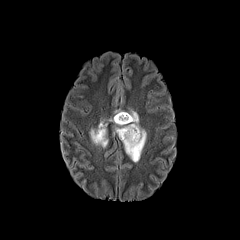
FLAIR MRI.
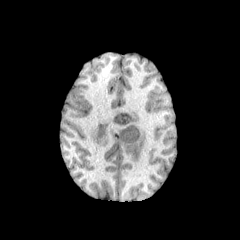
Same slice, T1-weighted magnetic resonance.
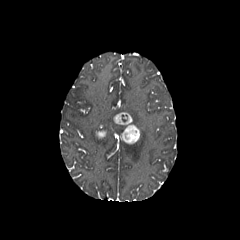
Post-contrast T1-weighted MR.
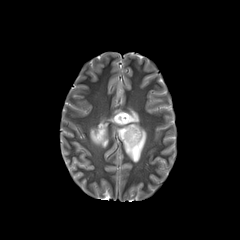
Same slice, T2-weighted magnetic resonance.
Axial view
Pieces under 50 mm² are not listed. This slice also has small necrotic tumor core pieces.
Annotated regions:
• enhancing tumor: box=[96, 129, 106, 138]; box=[113, 112, 140, 144]
• peritumoral edema: box=[90, 120, 108, 147]; box=[123, 109, 146, 162]; box=[115, 125, 126, 135]